Slice index 86 | 240x240 | Brain
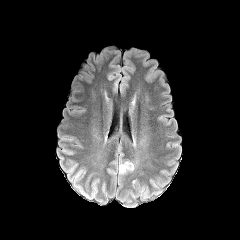
FLAIR MR image.
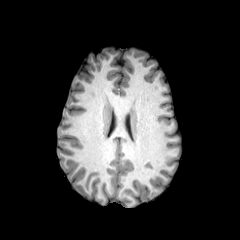
Same slice, T1-weighted MR.
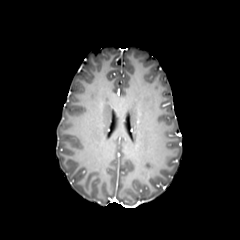
Post-contrast T1-weighted MRI of the same slice.
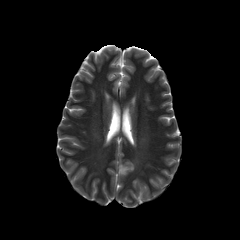
T2-weighted MR image.
peritumoral edema: l=119, t=162, r=134, b=173